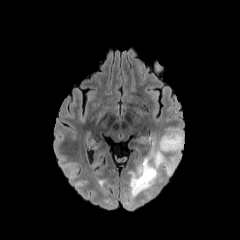
FLAIR MR image.
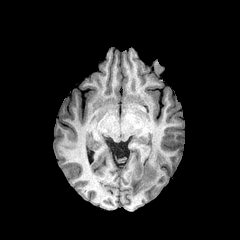
T1-weighted MRI of the same slice.
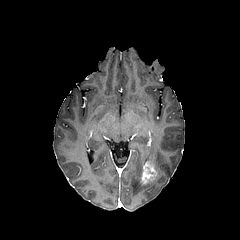
Same slice, post-contrast T1-weighted magnetic resonance.
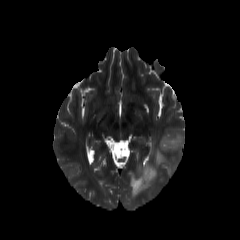
T2-weighted MRI.
Brain
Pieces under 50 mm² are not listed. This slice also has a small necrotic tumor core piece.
<segmentation>
  <peritumoral_edema>(127, 128, 183, 198)</peritumoral_edema>
  <enhancing_tumor>(140, 162, 157, 184)</enhancing_tumor>
</segmentation>